FLAIR MR.
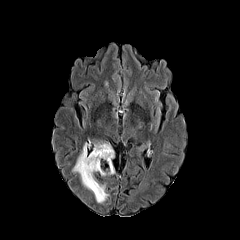
T1-weighted MRI.
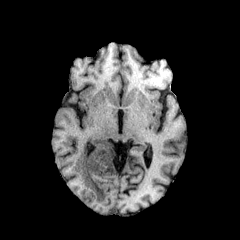
Post-contrast T1-weighted MRI.
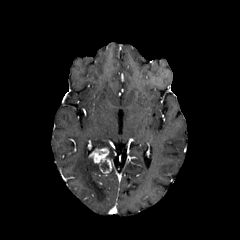
T2-weighted MR.
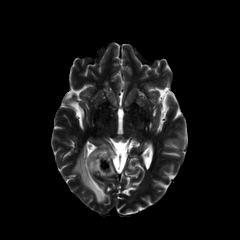
240x240 | Head
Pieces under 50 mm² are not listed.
enhancing_tumor:
  - rect(89, 147, 111, 175)
peritumoral_edema:
  - rect(93, 141, 115, 161)
  - rect(72, 141, 109, 203)
necrotic_tumor_core:
  - rect(101, 161, 108, 170)